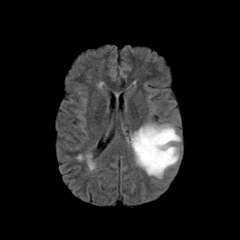
FLAIR MR image.
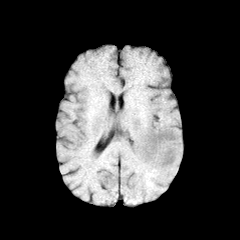
T1-weighted MR of the same slice.
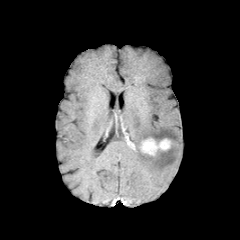
Post-contrast T1-weighted magnetic resonance.
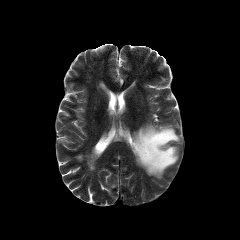
T2-weighted MRI of the same slice.
Axial plane | Image size 240x240 | Brain
The peritumoral edema is located at {"x1": 131, "y1": 123, "x2": 180, "y2": 178}. The enhancing tumor is bounded by {"x1": 140, "y1": 137, "x2": 170, "y2": 156}.